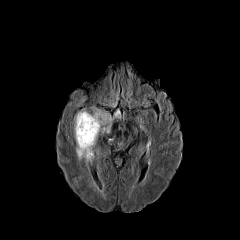
FLAIR magnetic resonance.
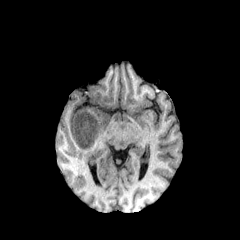
T1-weighted magnetic resonance.
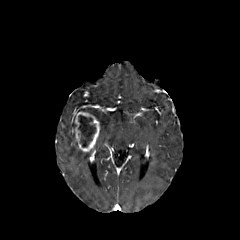
Post-contrast T1-weighted MR image of the same slice.
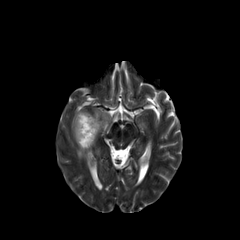
Same slice, T2-weighted MRI.
240x240. Head.
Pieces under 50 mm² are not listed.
necrotic tumor core at box=[78, 115, 95, 147]
peritumoral edema at box=[76, 144, 92, 160]; box=[92, 111, 111, 132]
enhancing tumor at box=[73, 111, 100, 152]